Image size 240x240
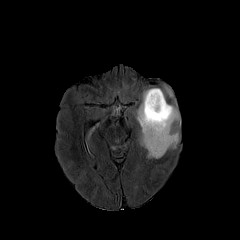
FLAIR magnetic resonance.
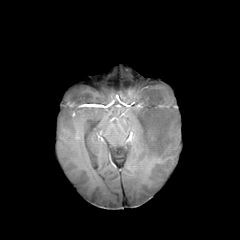
T1-weighted MR of the same slice.
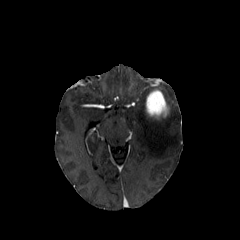
Same slice, post-contrast T1-weighted MR image.
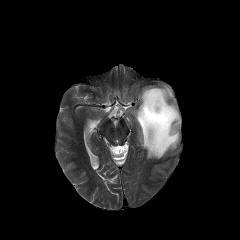
Same slice, T2-weighted magnetic resonance.
{
  "peritumoral_edema": [
    "region(133, 85, 180, 158)"
  ],
  "enhancing_tumor": [
    "region(145, 89, 169, 119)"
  ]
}